Brain. Slice 43 of 155. 240x240 px.
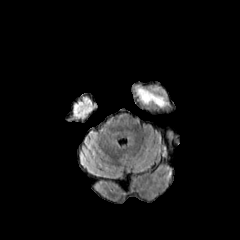
FLAIR MR.
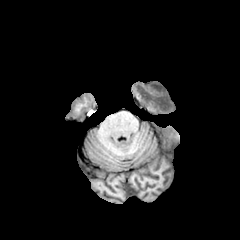
T1-weighted MRI.
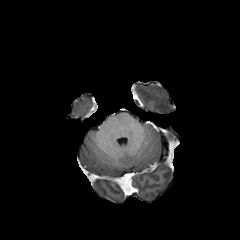
Post-contrast T1-weighted MRI of the same slice.
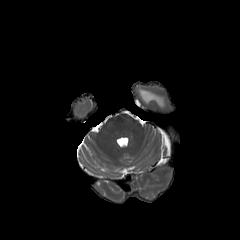
T2-weighted MR.
peritumoral edema: <box>136,87,167,107</box>